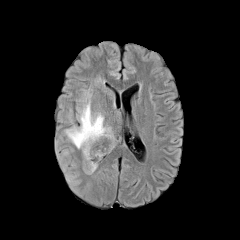
FLAIR MRI.
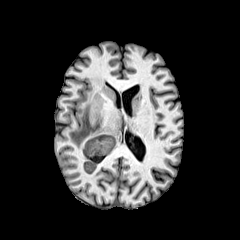
T1-weighted MRI.
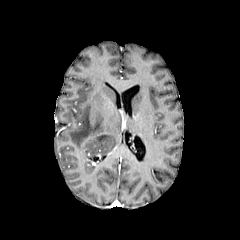
Post-contrast T1-weighted magnetic resonance.
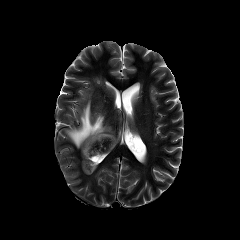
T2-weighted magnetic resonance.
Axial plane. Head. 240x240.
peritumoral edema: bounding box [x1=66, y1=92, x2=114, y2=171]